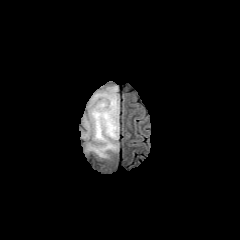
FLAIR MR.
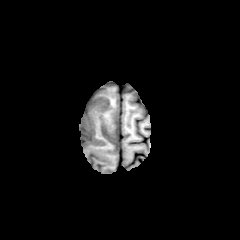
T1-weighted MR.
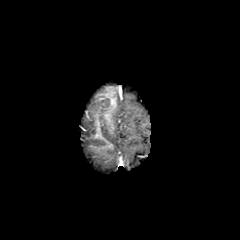
Post-contrast T1-weighted MRI.
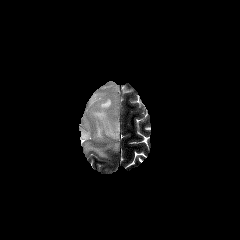
T2-weighted magnetic resonance.
Axial view
The peritumoral edema is at 81,85,119,158.